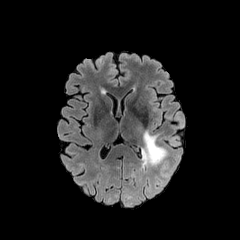
FLAIR MR.
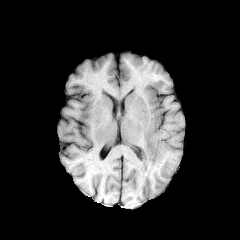
T1-weighted MR image of the same slice.
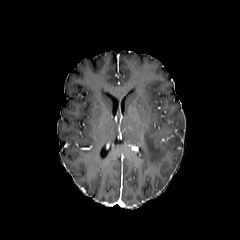
Post-contrast T1-weighted MR of the same slice.
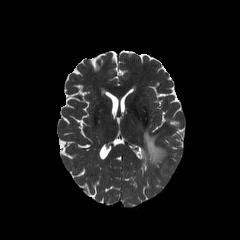
T2-weighted MR.
Axial plane | Head | Image size 240x240
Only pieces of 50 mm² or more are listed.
- peritumoral edema: (left=141, top=130, right=168, bottom=170), (left=161, top=162, right=167, bottom=176)